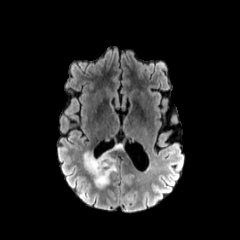
FLAIR MRI.
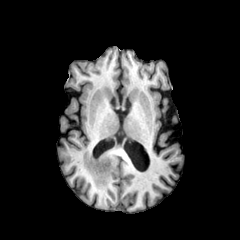
T1-weighted MR image.
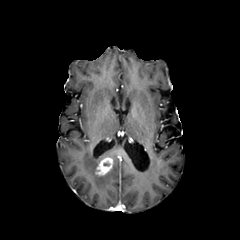
Post-contrast T1-weighted MR image.
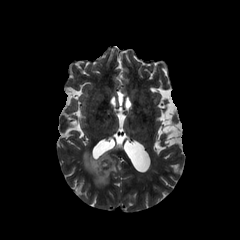
T2-weighted MR image.
Brain.
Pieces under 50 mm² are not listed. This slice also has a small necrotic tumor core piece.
Segmented structures:
- peritumoral edema: 83:151:117:188
- enhancing tumor: 95:157:113:175